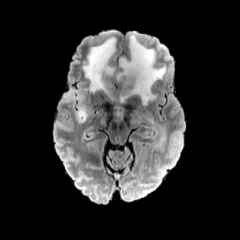
FLAIR magnetic resonance.
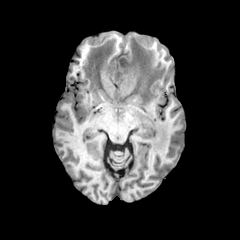
T1-weighted MR image.
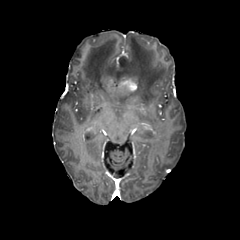
Post-contrast T1-weighted MRI.
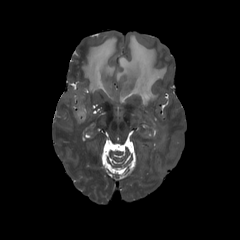
T2-weighted magnetic resonance of the same slice.
240x240.
<segmentation>
  <peritumoral_edema>[82,37,115,96], [148,119,166,151], [116,33,166,104], [62,85,86,123]</peritumoral_edema>
  <enhancing_tumor>[120,78,137,91]</enhancing_tumor>
</segmentation>